Axial plane, Slice index 86
FLAIR MRI.
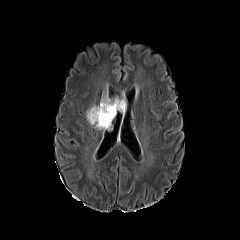
T1-weighted MRI.
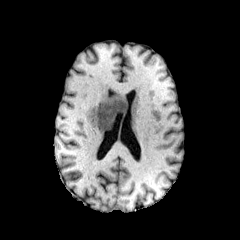
Post-contrast T1-weighted MR.
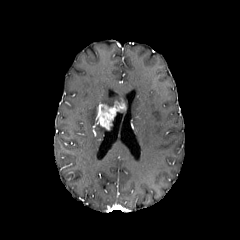
T2-weighted MR.
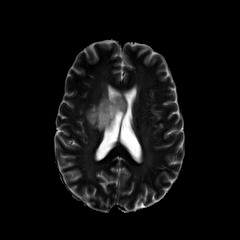
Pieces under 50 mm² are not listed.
{"enhancing_tumor": [{"x1": 96, "y1": 100, "x2": 125, "y2": 129}], "peritumoral_edema": [{"x1": 100, "y1": 91, "x2": 121, "y2": 106}, {"x1": 86, "y1": 104, "x2": 105, "y2": 130}]}